Image width 240 mm, 1.00 mm slice spacing. Head. Axial plane.
FLAIR MR.
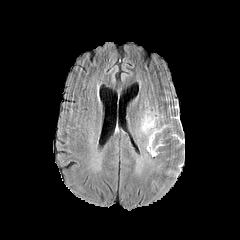
T1-weighted MR.
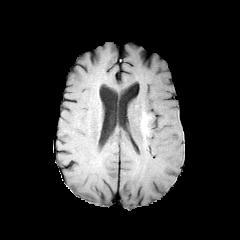
Post-contrast T1-weighted MR.
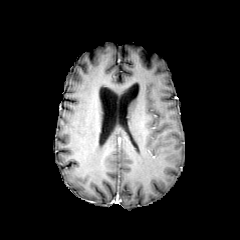
T2-weighted MR image.
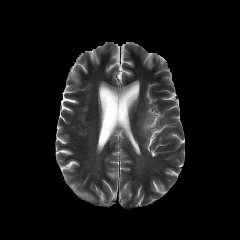
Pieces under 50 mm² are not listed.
peritumoral edema — l=147, t=129, r=161, b=150; l=142, t=117, r=154, b=131